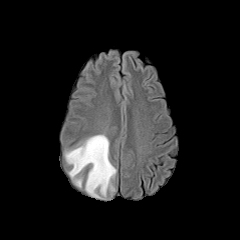
FLAIR magnetic resonance.
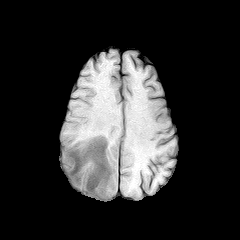
T1-weighted MR image of the same slice.
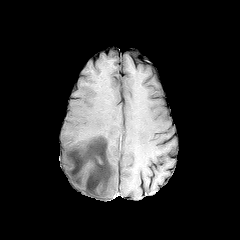
Post-contrast T1-weighted magnetic resonance of the same slice.
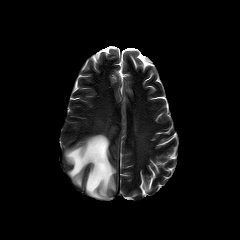
T2-weighted magnetic resonance of the same slice.
240x240, Brain
The peritumoral edema lies within left=64, top=134, right=116, bottom=199.